Image width 240 mm. 240x240.
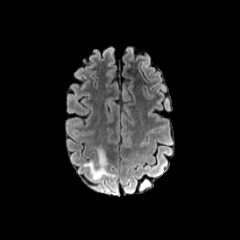
FLAIR magnetic resonance.
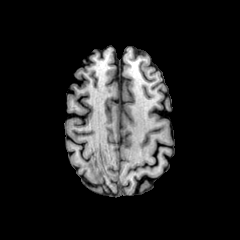
Same slice, T1-weighted MR.
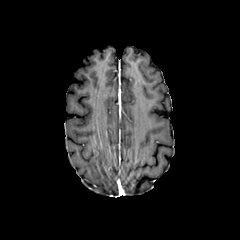
Post-contrast T1-weighted MR.
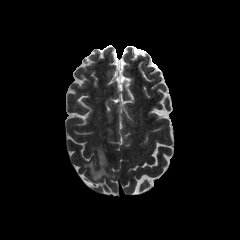
T2-weighted MR image.
peritumoral_edema:
  - x1=84, y1=148, x2=114, y2=180